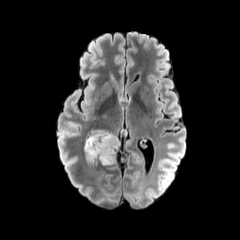
FLAIR MRI.
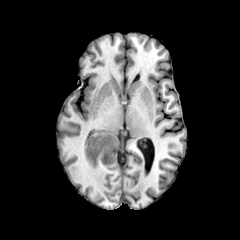
Same slice, T1-weighted MR.
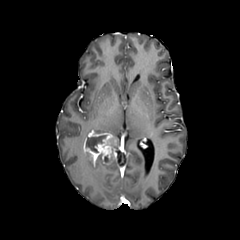
Post-contrast T1-weighted magnetic resonance.
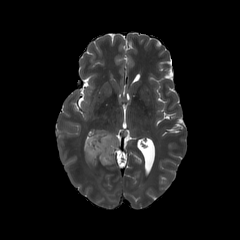
T2-weighted magnetic resonance of the same slice.
Axial plane | Brain
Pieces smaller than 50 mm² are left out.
necrotic tumor core: 86, 135, 106, 152 | peritumoral edema: 84, 153, 92, 167; 96, 157, 116, 167; 95, 130, 119, 151 | enhancing tumor: 83, 132, 117, 163